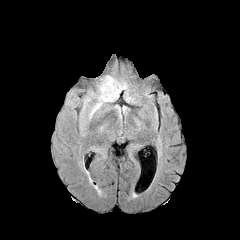
FLAIR magnetic resonance.
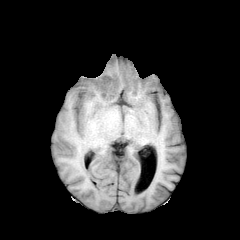
T1-weighted MR.
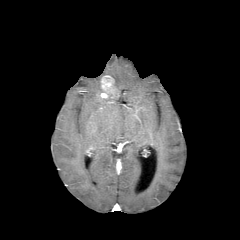
Post-contrast T1-weighted MR.
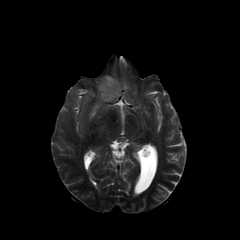
T2-weighted magnetic resonance.
Brain
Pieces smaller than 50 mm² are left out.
Findings:
- enhancing tumor: (101, 75, 115, 98)
- peritumoral edema: (102, 80, 125, 100)